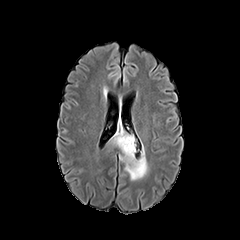
FLAIR MR image.
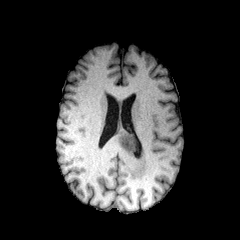
T1-weighted MR.
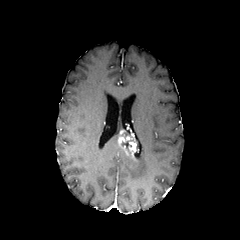
Post-contrast T1-weighted MR image.
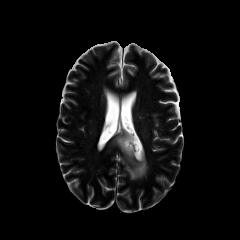
Same slice, T2-weighted MR.
Axial slice, Head
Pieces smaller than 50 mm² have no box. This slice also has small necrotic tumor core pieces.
The 2 largest peritumoral edema regions are located at region(111, 131, 119, 145); region(119, 147, 147, 180). The enhancing tumor is bounded by region(118, 131, 136, 159).